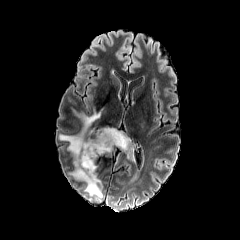
FLAIR MRI.
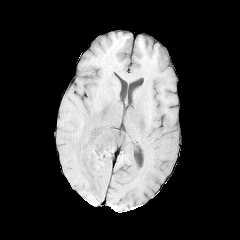
T1-weighted MR of the same slice.
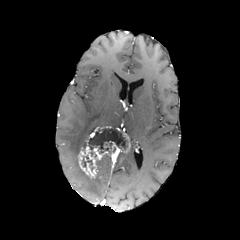
Post-contrast T1-weighted MRI.
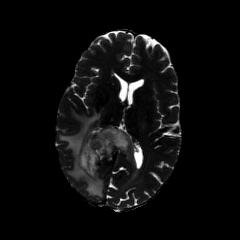
Same slice, T2-weighted MR image.
Axial plane, 240x240 px, Brain
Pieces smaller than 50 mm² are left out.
necrotic_tumor_core:
  - left=88, top=129, right=125, bottom=150
peritumoral_edema:
  - left=59, top=107, right=103, bottom=197
enhancing_tumor:
  - left=78, top=126, right=131, bottom=178